FLAIR MRI.
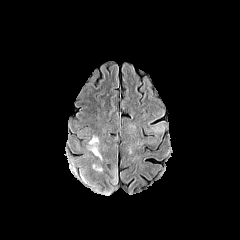
T1-weighted MR.
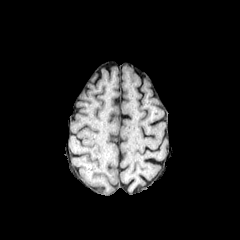
Post-contrast T1-weighted MRI.
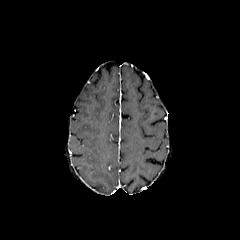
T2-weighted MRI.
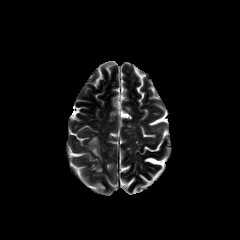
Axial plane | Head
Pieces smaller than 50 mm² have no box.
The 3 largest peritumoral edema regions are located at 91,147,100,157; 112,170,117,183; 152,126,161,132.